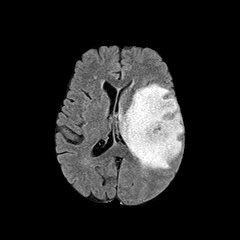
FLAIR MR.
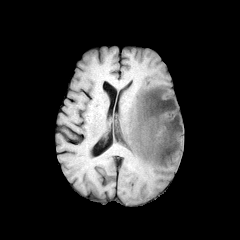
T1-weighted MRI of the same slice.
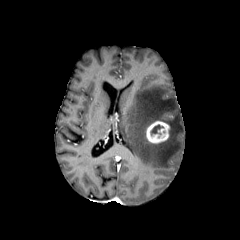
Post-contrast T1-weighted MR image of the same slice.
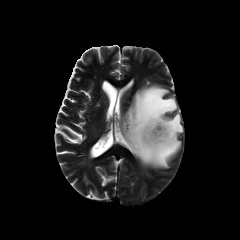
T2-weighted MR image.
Axial slice | Image size 240x240
necrotic tumor core: (151, 125, 163, 134) | enhancing tumor: (146, 120, 169, 143) | peritumoral edema: (119, 84, 183, 168)